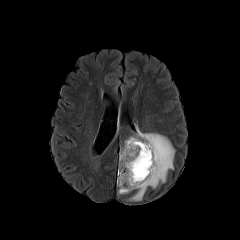
FLAIR magnetic resonance.
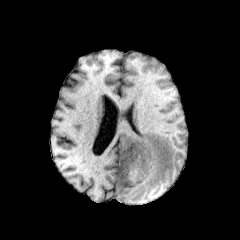
T1-weighted MR.
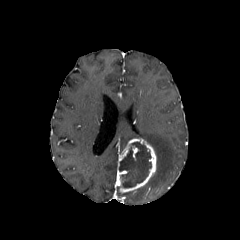
Post-contrast T1-weighted MRI.
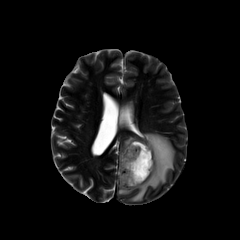
T2-weighted MRI.
Head
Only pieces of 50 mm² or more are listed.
<segmentation>
  <necrotic_tumor_core>region(119, 142, 151, 187)</necrotic_tumor_core>
  <peritumoral_edema>region(120, 128, 175, 201)</peritumoral_edema>
  <enhancing_tumor>region(116, 138, 156, 193)</enhancing_tumor>
</segmentation>